Image width 240 mm; Head
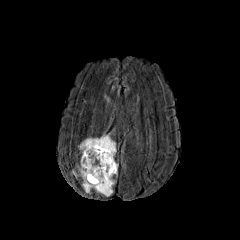
FLAIR MRI.
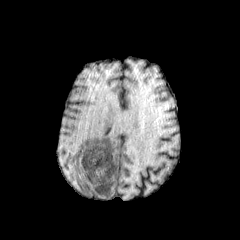
T1-weighted MR image.
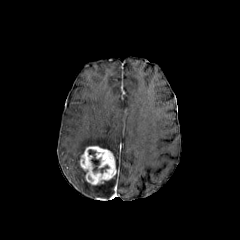
Post-contrast T1-weighted MRI of the same slice.
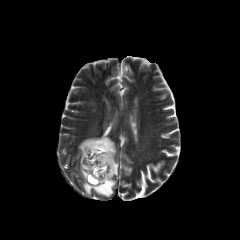
T2-weighted magnetic resonance of the same slice.
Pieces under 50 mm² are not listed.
The 2 largest peritumoral edema regions appear at bbox=[78, 134, 116, 156]; bbox=[72, 166, 115, 196]. The enhancing tumor lies within bbox=[80, 146, 116, 185]. The largest necrotic tumor core region appears at bbox=[89, 150, 99, 171].